Head | Axial slice | Slice 62/155
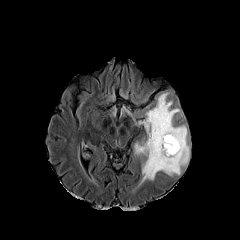
FLAIR magnetic resonance.
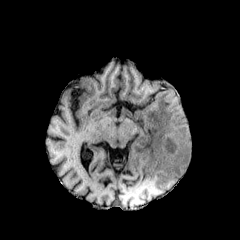
T1-weighted MRI.
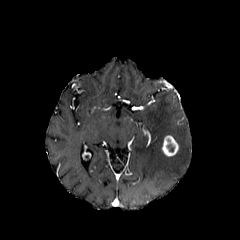
Post-contrast T1-weighted MRI.
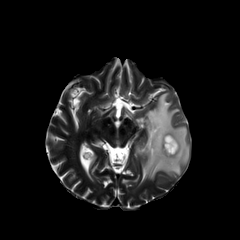
T2-weighted MR image.
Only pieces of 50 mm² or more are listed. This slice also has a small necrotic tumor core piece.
enhancing tumor: [x1=162, y1=135, x2=178, y2=156] | peritumoral edema: [x1=132, y1=92, x2=190, y2=183]